Head | Slice index 35
FLAIR MR.
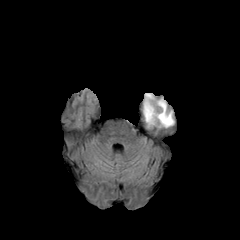
T1-weighted MR.
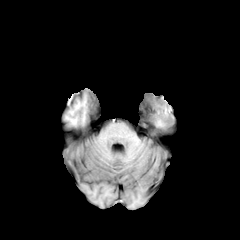
Post-contrast T1-weighted MR.
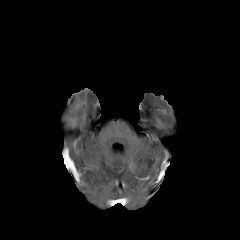
T2-weighted MR image.
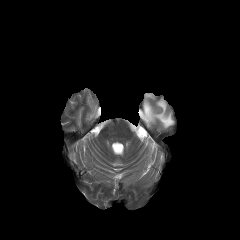
peritumoral edema — [143, 93, 174, 127]